Axial slice
FLAIR MR image.
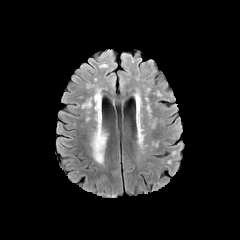
T1-weighted MRI.
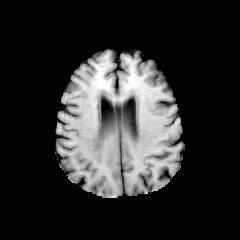
Post-contrast T1-weighted magnetic resonance.
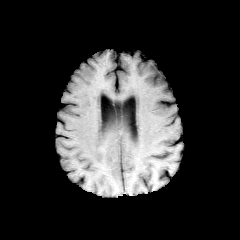
T2-weighted MR image.
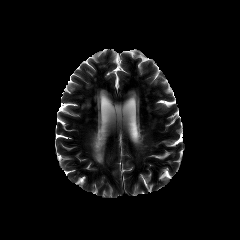
peritumoral_edema:
  - 91,121,106,163